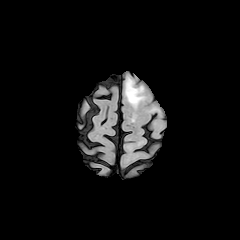
FLAIR MR image.
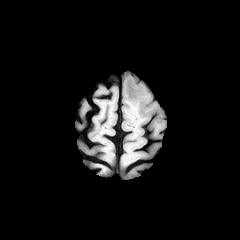
Same slice, T1-weighted MRI.
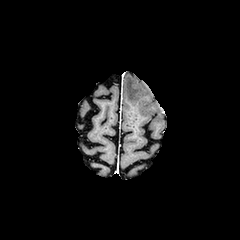
Same slice, post-contrast T1-weighted MR.
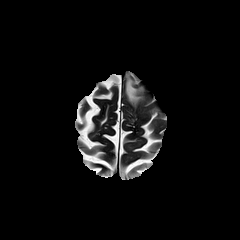
T2-weighted MRI.
Axial plane | 240x240 | Brain
peritumoral edema — bbox(125, 76, 143, 106)